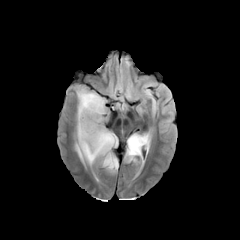
FLAIR magnetic resonance.
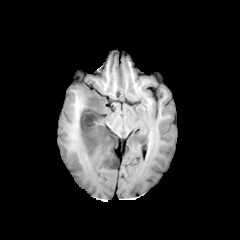
T1-weighted MRI.
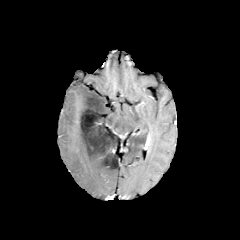
Post-contrast T1-weighted MR image of the same slice.
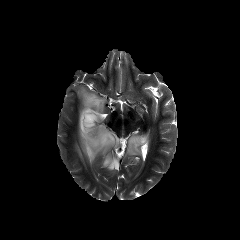
T2-weighted MR image of the same slice.
240x240; Brain
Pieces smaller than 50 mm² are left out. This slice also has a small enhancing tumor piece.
necrotic tumor core: bounding box (80,96,115,151), (105,156,118,168)
peritumoral edema: bounding box (126,134,149,161), (75,88,117,171)